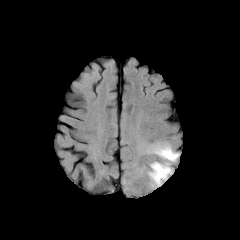
FLAIR magnetic resonance.
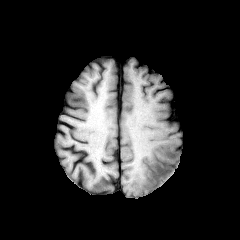
T1-weighted MR image.
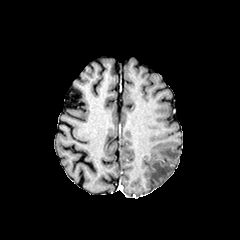
Same slice, post-contrast T1-weighted magnetic resonance.
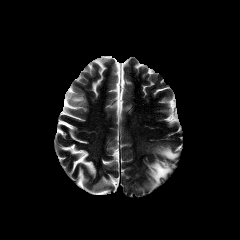
T2-weighted MR image.
Axial plane
2 peritumoral edema regions appear at {"x1": 148, "y1": 161, "x2": 172, "y2": 188}, {"x1": 152, "y1": 144, "x2": 179, "y2": 161}.